FLAIR magnetic resonance.
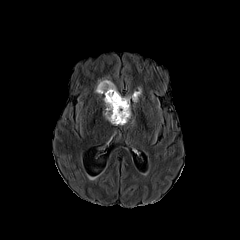
T1-weighted MRI.
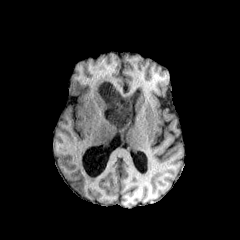
Post-contrast T1-weighted magnetic resonance.
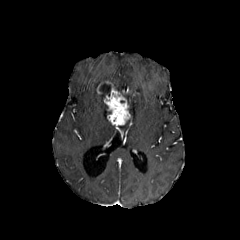
T2-weighted MRI.
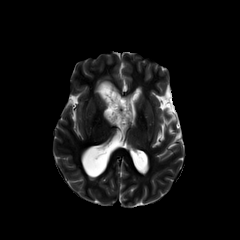
Brain; Axial plane
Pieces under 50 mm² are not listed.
peritumoral edema: bounding box x1=125, y1=88, x2=141, y2=115
enhancing tumor: bounding box x1=97, y1=81, x2=130, y2=125
necrotic tumor core: bounding box x1=99, y1=83, x2=111, y2=97